Slice index 46, Axial slice
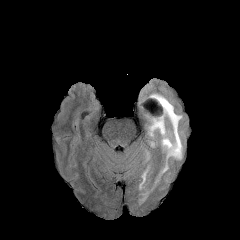
FLAIR MR.
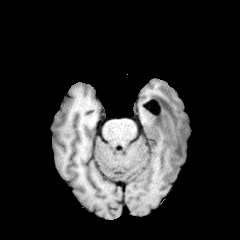
T1-weighted MR image.
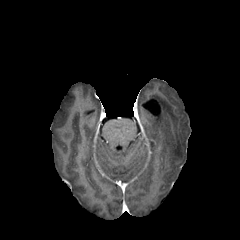
Post-contrast T1-weighted MR image of the same slice.
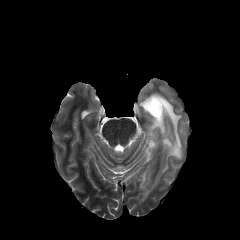
T2-weighted magnetic resonance of the same slice.
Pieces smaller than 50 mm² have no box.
peritumoral edema: (139,171,147,189), (148,93,182,184)